240x240 px. Head.
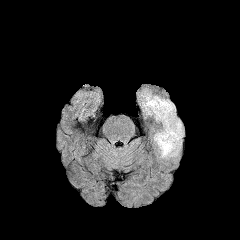
FLAIR MRI.
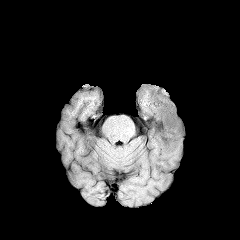
T1-weighted magnetic resonance of the same slice.
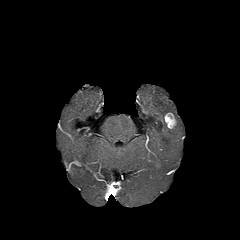
Post-contrast T1-weighted magnetic resonance of the same slice.
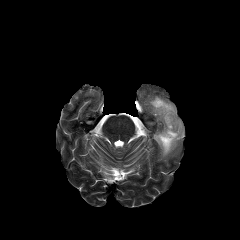
Same slice, T2-weighted MRI.
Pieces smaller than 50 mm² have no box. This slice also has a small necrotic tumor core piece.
enhancing_tumor:
  - 164:113:176:128
peritumoral_edema:
  - 142:94:183:158